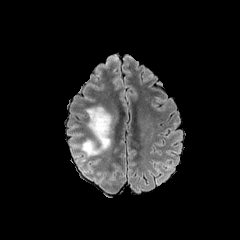
FLAIR MR.
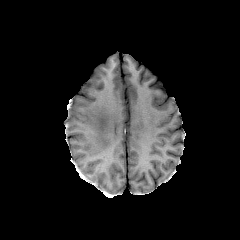
T1-weighted magnetic resonance.
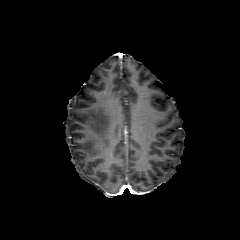
Same slice, post-contrast T1-weighted MRI.
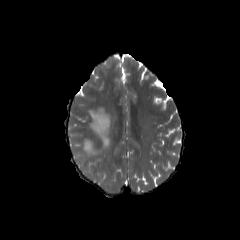
T2-weighted MR image.
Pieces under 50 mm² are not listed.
The largest peritumoral edema region lies within (81, 106, 111, 156).